Image width 240 mm | Brain | Slice 87/155
FLAIR MR.
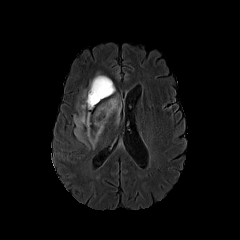
T1-weighted MR.
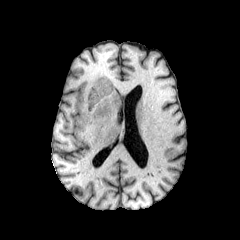
Post-contrast T1-weighted MRI.
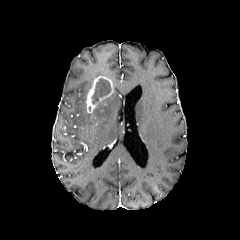
T2-weighted magnetic resonance.
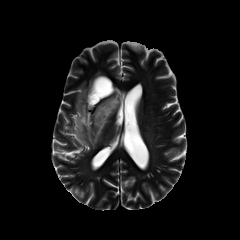
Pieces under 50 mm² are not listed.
Annotated regions:
- necrotic tumor core: bbox=[92, 78, 111, 102]
- enhancing tumor: bbox=[86, 76, 114, 113]
- peritumoral edema: bbox=[73, 90, 121, 148]